FLAIR MR image.
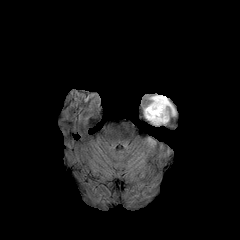
T1-weighted MR.
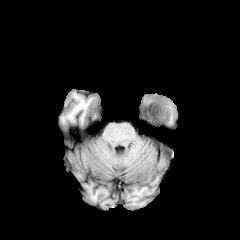
Post-contrast T1-weighted MR.
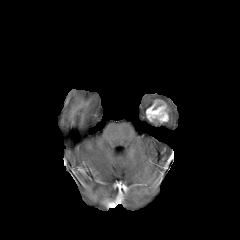
T2-weighted MR.
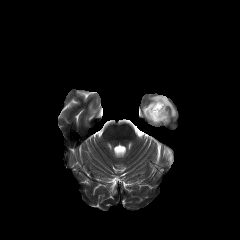
Axial view
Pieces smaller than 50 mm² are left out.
<segmentation>
  <peritumoral_edema>[143, 95, 176, 120]</peritumoral_edema>
  <enhancing_tumor>[146, 99, 168, 124]</enhancing_tumor>
</segmentation>